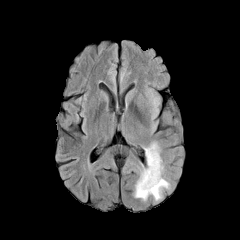
FLAIR MRI.
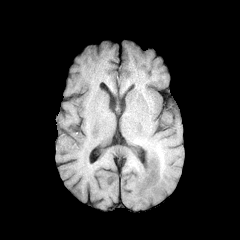
Same slice, T1-weighted MR.
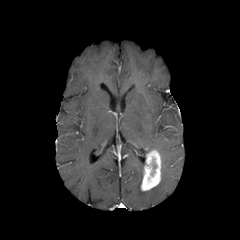
Post-contrast T1-weighted MR.
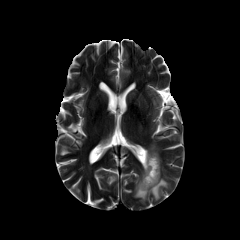
Same slice, T2-weighted MRI.
Axial plane.
{"peritumoral_edema": ["<bbox>134, 158, 170, 200</bbox>", "<bbox>144, 142, 160, 155</bbox>"], "enhancing_tumor": ["<bbox>141, 149, 161, 191</bbox>"]}